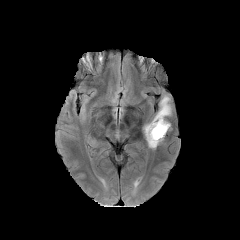
FLAIR MR.
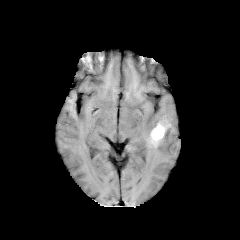
T1-weighted MR image.
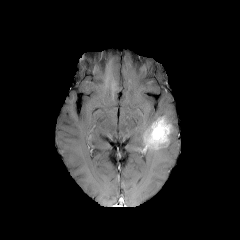
Post-contrast T1-weighted MR of the same slice.
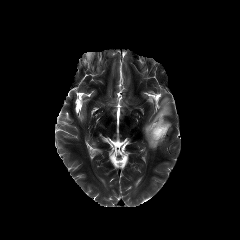
T2-weighted magnetic resonance.
Image size 240x240
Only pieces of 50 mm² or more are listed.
The largest peritumoral edema region is bounded by [143,96,171,136]. The enhancing tumor is at [145,117,171,148].